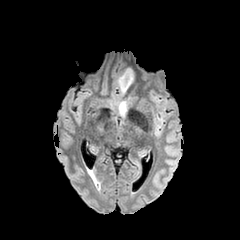
FLAIR MR.
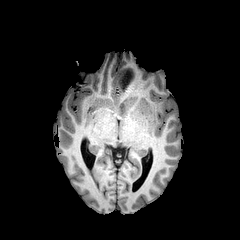
T1-weighted MR of the same slice.
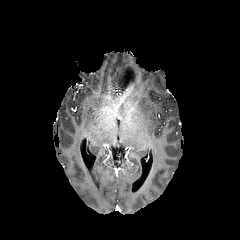
Post-contrast T1-weighted MRI.
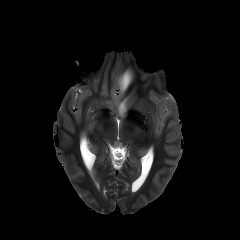
T2-weighted magnetic resonance.
240x240 px
Findings:
- peritumoral edema: rect(119, 101, 126, 116); rect(119, 67, 134, 87)